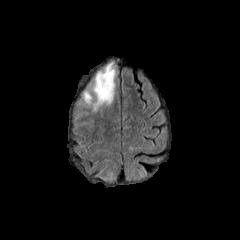
FLAIR magnetic resonance.
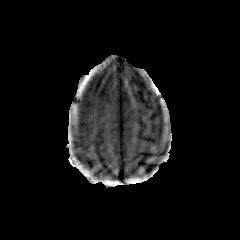
Same slice, T1-weighted magnetic resonance.
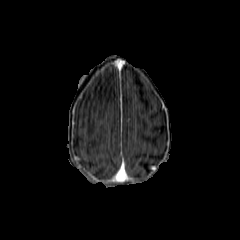
Post-contrast T1-weighted MR.
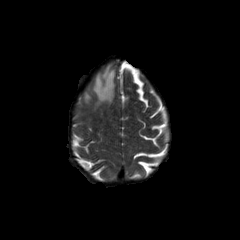
T2-weighted magnetic resonance.
Head, Axial slice
The peritumoral edema is bounded by bbox=[83, 62, 115, 111].